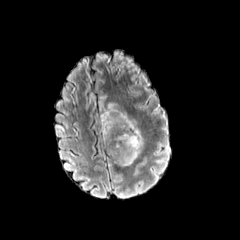
FLAIR MRI.
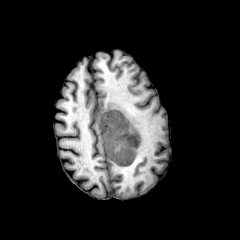
Same slice, T1-weighted magnetic resonance.
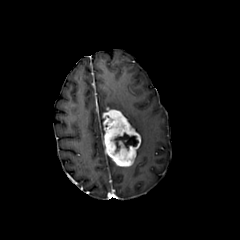
Post-contrast T1-weighted MRI.
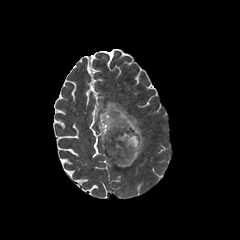
Same slice, T2-weighted magnetic resonance.
Axial plane
Segmented structures:
* necrotic tumor core: [114,133,138,151]
* enhancing tumor: [102,108,141,166]
* peritumoral edema: [100,102,143,156]